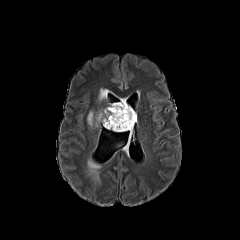
FLAIR MR.
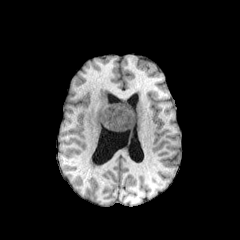
T1-weighted MR.
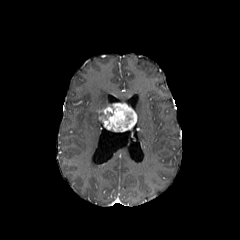
Same slice, post-contrast T1-weighted MR.
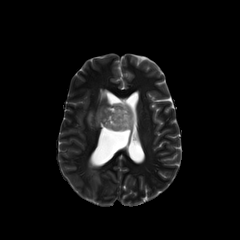
T2-weighted MR of the same slice.
Brain
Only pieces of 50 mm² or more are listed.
Segmented structures:
- peritumoral edema: [87,111,101,126], [99,89,108,100]
- enhancing tumor: [98,102,137,131]